FLAIR MR image.
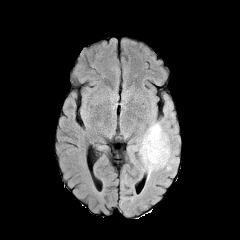
T1-weighted MRI.
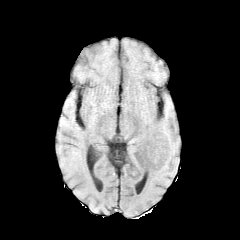
Post-contrast T1-weighted MR.
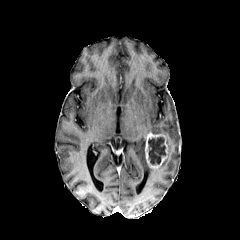
T2-weighted magnetic resonance.
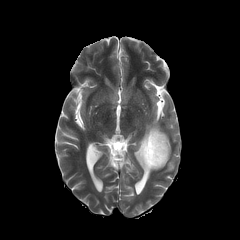
Brain. Axial plane. Image size 240x240.
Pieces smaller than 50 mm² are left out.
<segmentation>
  <enhancing_tumor>box=[145, 132, 168, 169]</enhancing_tumor>
  <necrotic_tumor_core>box=[148, 137, 166, 164]</necrotic_tumor_core>
  <peritumoral_edema>box=[139, 122, 176, 173]</peritumoral_edema>
</segmentation>